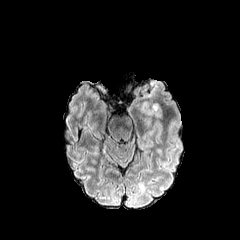
FLAIR MR image.
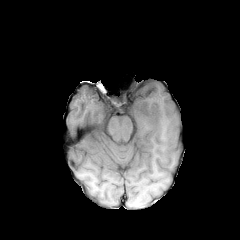
T1-weighted MRI.
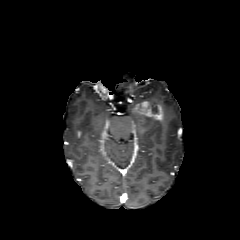
Post-contrast T1-weighted magnetic resonance.
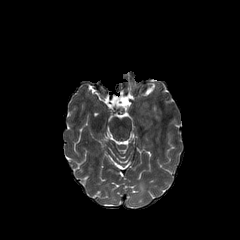
T2-weighted magnetic resonance of the same slice.
Image size 240x240. Axial view. Brain.
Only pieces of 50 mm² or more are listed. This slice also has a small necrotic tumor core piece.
enhancing tumor: (134, 101, 162, 119)